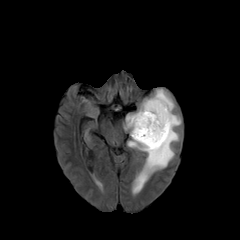
FLAIR MR image.
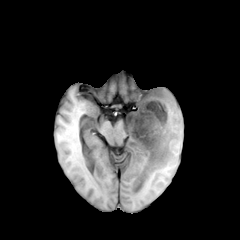
Same slice, T1-weighted MRI.
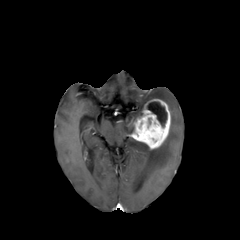
Post-contrast T1-weighted magnetic resonance.
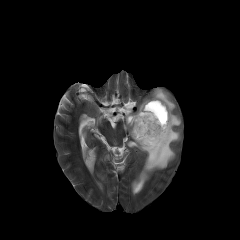
T2-weighted MRI of the same slice.
240x240 | Head | Axial view
The peritumoral edema appears at (123,88,181,194). The necrotic tumor core appears at (147,101,166,126). The enhancing tumor lies within (127,99,170,149).